FLAIR MR.
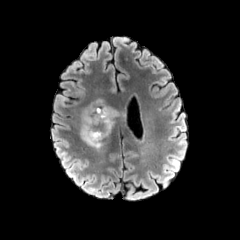
T1-weighted MR image.
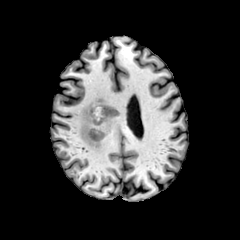
Post-contrast T1-weighted MRI.
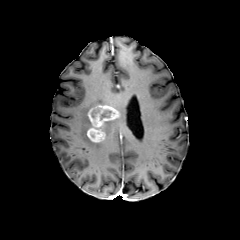
T2-weighted MR.
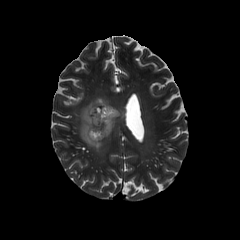
240x240 px; Head
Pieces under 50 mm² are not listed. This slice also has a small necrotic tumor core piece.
enhancing tumor: left=86, top=104, right=119, bottom=142 | peritumoral edema: left=106, top=120, right=114, bottom=136; left=79, top=98, right=107, bottom=148